FLAIR magnetic resonance.
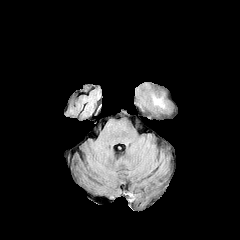
T1-weighted MR.
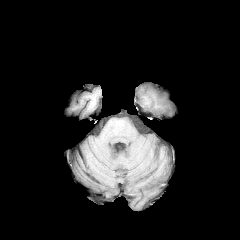
Post-contrast T1-weighted magnetic resonance.
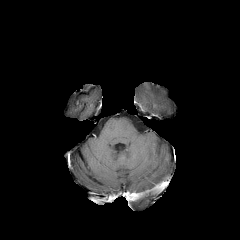
T2-weighted MR.
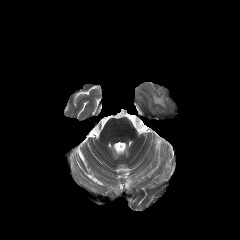
Head; Axial view
{
  "peritumoral_edema": [
    "region(152, 95, 164, 107)"
  ]
}